Axial slice
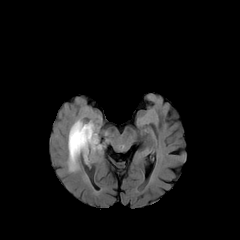
FLAIR MRI.
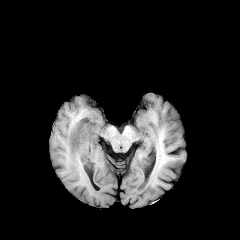
T1-weighted MRI.
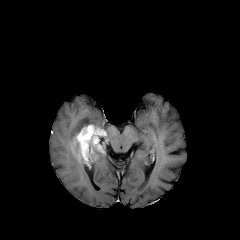
Post-contrast T1-weighted MR image.
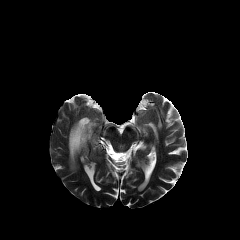
T2-weighted MRI.
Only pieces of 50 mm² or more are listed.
The largest peritumoral edema region is at <bbox>68, 119, 99, 171</bbox>. The enhancing tumor appears at <bbox>71, 125, 105, 157</bbox>.